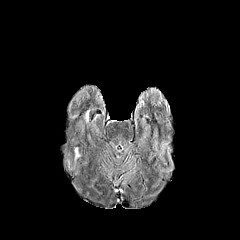
FLAIR MR image.
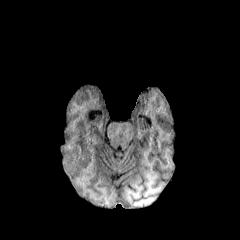
Same slice, T1-weighted MR.
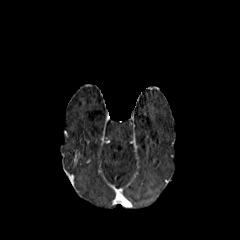
Post-contrast T1-weighted MR.
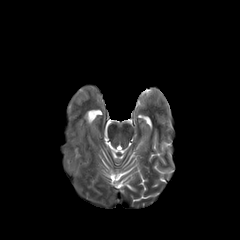
Same slice, T2-weighted MR image.
Axial plane | Head
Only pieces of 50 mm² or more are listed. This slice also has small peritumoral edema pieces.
enhancing_tumor:
  - x1=73, y1=150, x2=80, y2=165